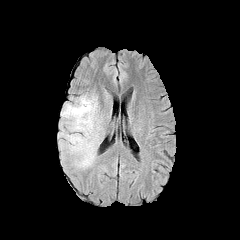
FLAIR magnetic resonance.
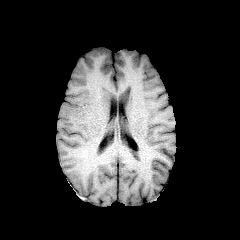
T1-weighted MR of the same slice.
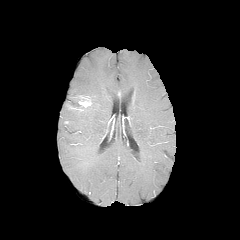
Post-contrast T1-weighted MR image.
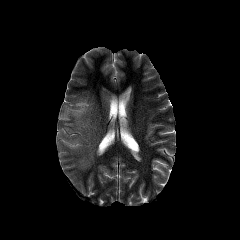
Same slice, T2-weighted MRI.
Head, Axial view
{
  "peritumoral_edema": [
    "bbox(58, 95, 98, 169)"
  ]
}